FLAIR MRI.
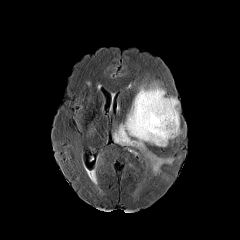
T1-weighted MR.
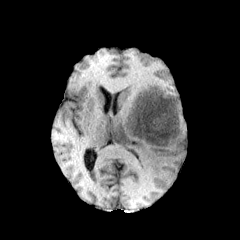
Post-contrast T1-weighted MRI.
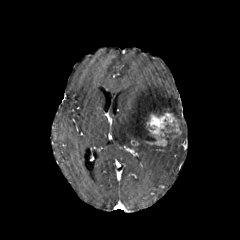
T2-weighted magnetic resonance.
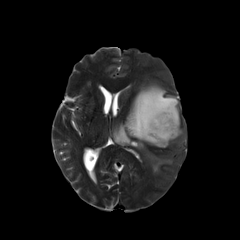
Axial slice | Head | 240x240
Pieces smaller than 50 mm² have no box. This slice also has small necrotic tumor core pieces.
enhancing_tumor:
  - region(145, 109, 181, 146)
peritumoral_edema:
  - region(113, 82, 180, 178)
  - region(167, 124, 186, 144)